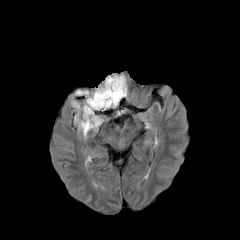
FLAIR magnetic resonance.
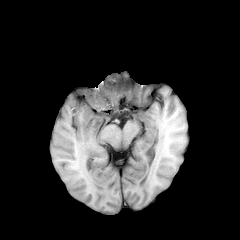
T1-weighted magnetic resonance.
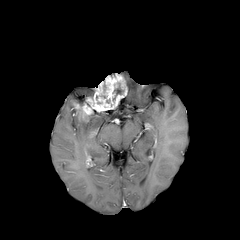
Same slice, post-contrast T1-weighted MR.
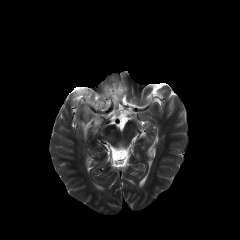
T2-weighted magnetic resonance of the same slice.
Brain | Axial plane
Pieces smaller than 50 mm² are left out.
enhancing tumor: 73 74 127 122 | peritumoral edema: 75 90 89 96, 74 114 102 137 | necrotic tumor core: 107 82 122 103, 96 86 106 105